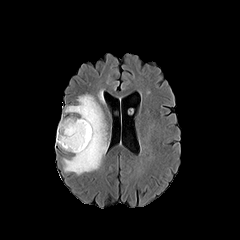
FLAIR MR image.
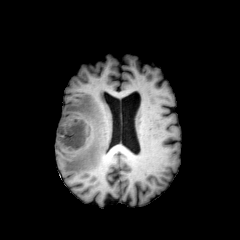
T1-weighted magnetic resonance.
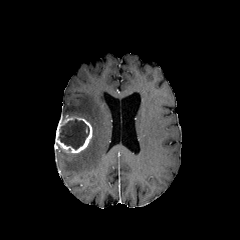
Post-contrast T1-weighted MR of the same slice.
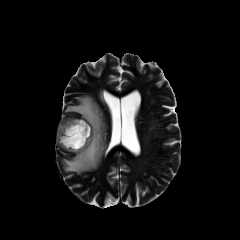
Same slice, T2-weighted magnetic resonance.
Head, 240x240
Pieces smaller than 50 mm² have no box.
peritumoral edema at (62,94,108,174)
necrotic tumor core at (59,119,89,149)
enhancing tumor at (55,116,92,153)